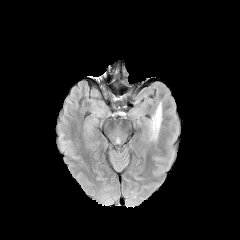
FLAIR MRI.
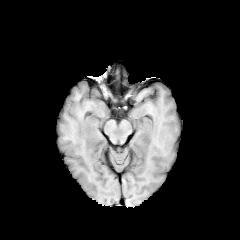
T1-weighted magnetic resonance.
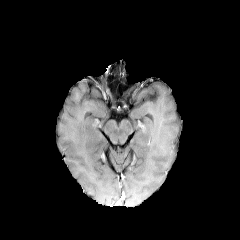
Same slice, post-contrast T1-weighted MR image.
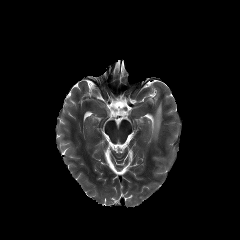
T2-weighted MR image of the same slice.
Brain. Axial view.
peritumoral edema — x1=148, y1=102, x2=162, y2=140